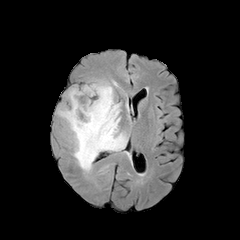
FLAIR MR.
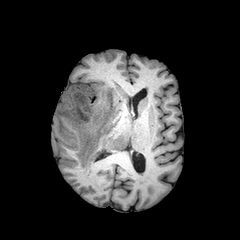
T1-weighted MR image.
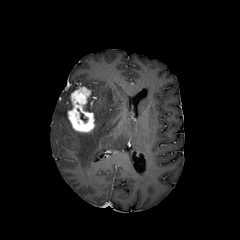
Post-contrast T1-weighted MRI of the same slice.
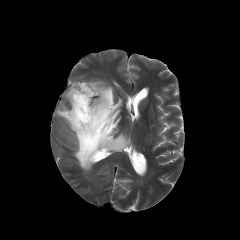
T2-weighted MRI.
Axial slice, Brain
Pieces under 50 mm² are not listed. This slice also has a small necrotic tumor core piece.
enhancing tumor — 67:86:94:132
peritumoral edema — 56:81:127:171